Slice 55 of 155 | Axial plane
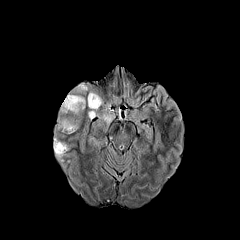
FLAIR MR.
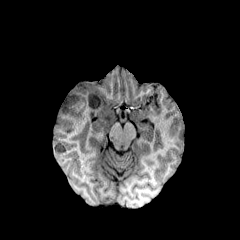
T1-weighted MRI.
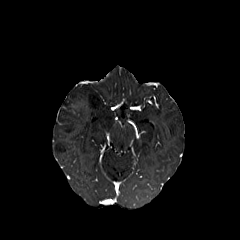
Post-contrast T1-weighted MR.
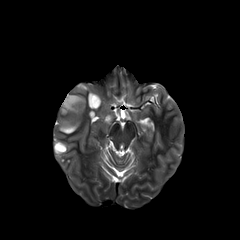
Same slice, T2-weighted MR image.
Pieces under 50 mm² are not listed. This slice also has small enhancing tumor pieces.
The largest necrotic tumor core region is bounded by 68 98 82 114. The 6 largest peritumoral edema regions are bounded by 99 113 113 124, 61 95 85 112, 54 139 66 156, 60 120 76 132, 88 91 101 109, 76 84 88 92.